Slice 79 of 155 | Image covers 240 mm x 240 mm | Axial plane
FLAIR MRI.
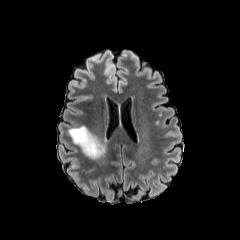
T1-weighted magnetic resonance.
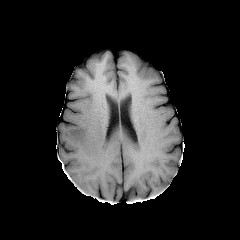
Post-contrast T1-weighted MR.
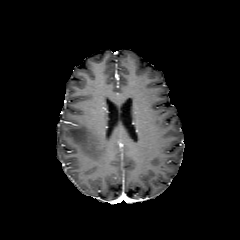
T2-weighted MR.
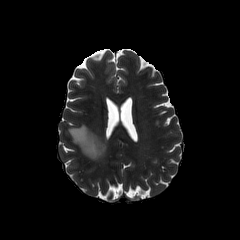
The peritumoral edema is located at (left=68, top=126, right=105, bottom=159).